Image width 240 mm | Head
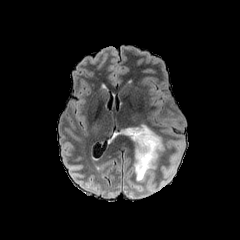
FLAIR MRI.
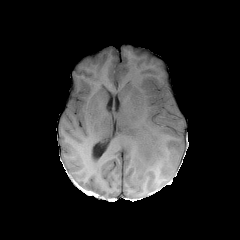
T1-weighted MR image of the same slice.
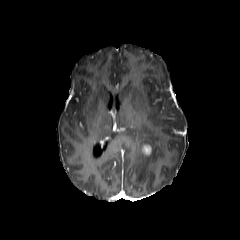
Post-contrast T1-weighted MRI.
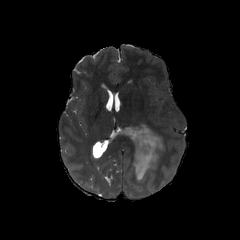
T2-weighted MRI.
The enhancing tumor is located at box=[142, 144, 151, 155]. The peritumoral edema is located at box=[107, 124, 164, 181].